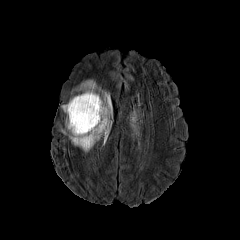
FLAIR MR.
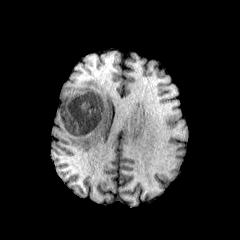
T1-weighted magnetic resonance.
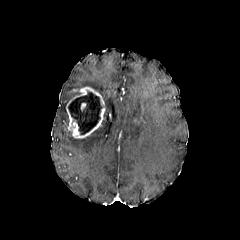
Post-contrast T1-weighted MR.
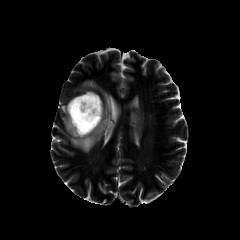
Same slice, T2-weighted MR.
Head. Axial plane.
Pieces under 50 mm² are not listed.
Findings:
- necrotic tumor core: (68,92,102,134)
- peritumoral edema: (61,80,111,152), (130,110,139,135)
- enhancing tumor: (66,86,105,138)